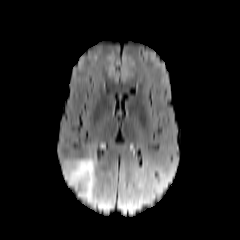
FLAIR MRI.
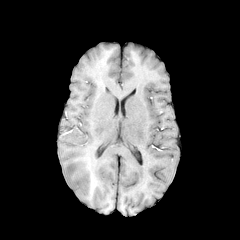
T1-weighted magnetic resonance of the same slice.
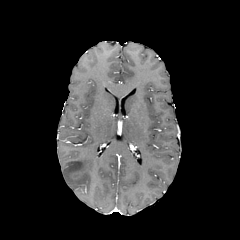
Same slice, post-contrast T1-weighted magnetic resonance.
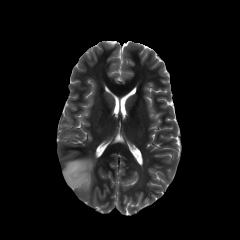
Same slice, T2-weighted MRI.
Head. Axial plane. Image size 240x240.
<segmentation>
  <peritumoral_edema>box=[63, 157, 95, 201]</peritumoral_edema>
</segmentation>